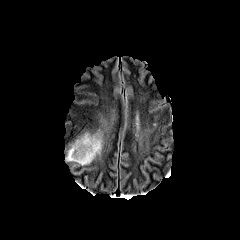
FLAIR magnetic resonance.
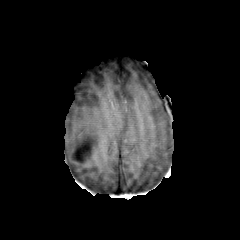
T1-weighted MR image.
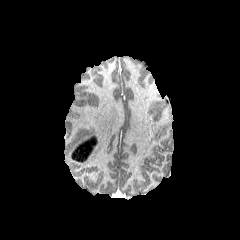
Post-contrast T1-weighted MR.
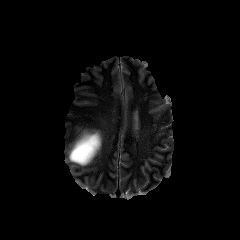
T2-weighted magnetic resonance of the same slice.
Axial plane | Head | 240x240 px
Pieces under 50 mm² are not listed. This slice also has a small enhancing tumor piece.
necrotic tumor core at [71, 137, 96, 162]
peritumoral edema at [65, 130, 103, 166]